Brain.
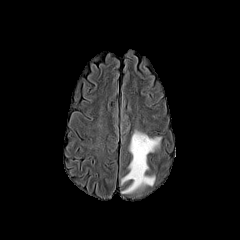
FLAIR MR image.
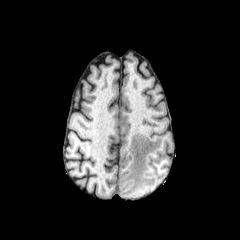
Same slice, T1-weighted MR image.
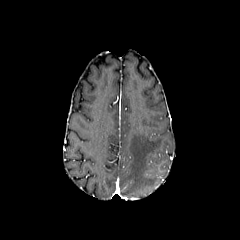
Same slice, post-contrast T1-weighted MR image.
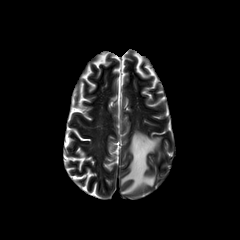
T2-weighted MRI of the same slice.
peritumoral edema: rect(121, 130, 161, 193)